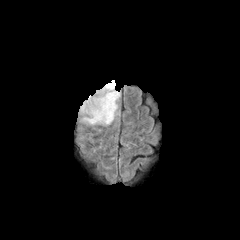
FLAIR magnetic resonance.
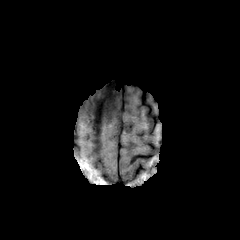
T1-weighted magnetic resonance of the same slice.
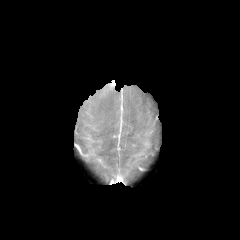
Same slice, post-contrast T1-weighted MR.
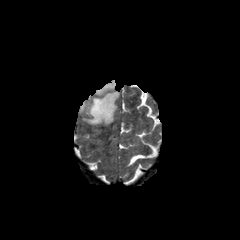
T2-weighted MRI.
240x240 | Head | Axial view
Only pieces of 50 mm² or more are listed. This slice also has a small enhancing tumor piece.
- peritumoral edema: rect(80, 83, 119, 125)